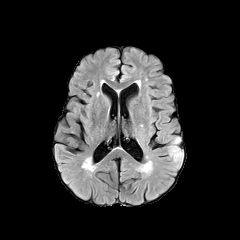
FLAIR MRI.
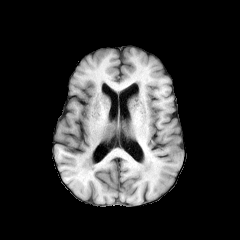
T1-weighted MR of the same slice.
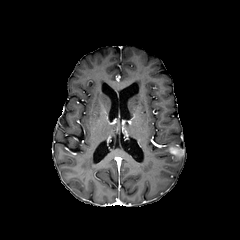
Post-contrast T1-weighted MR image.
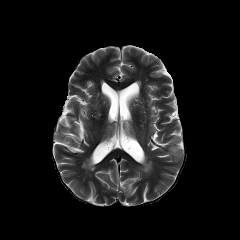
T2-weighted magnetic resonance.
Head.
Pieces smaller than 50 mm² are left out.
enhancing_tumor:
  - l=169, t=145, r=183, b=157
peritumoral_edema:
  - l=168, t=137, r=183, b=162